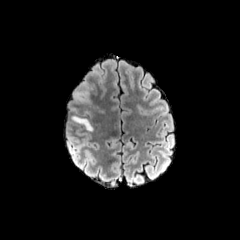
FLAIR MR.
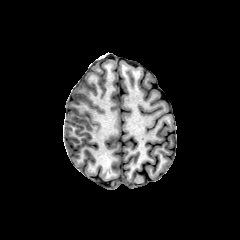
Same slice, T1-weighted magnetic resonance.
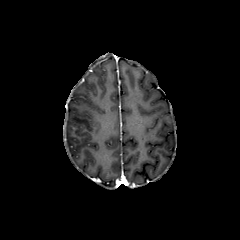
Post-contrast T1-weighted MR image of the same slice.
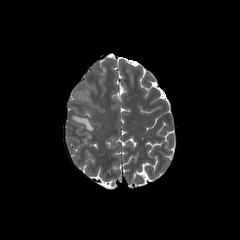
T2-weighted MR.
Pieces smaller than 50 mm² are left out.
peritumoral edema at box(71, 115, 92, 130); box(73, 83, 89, 104)